Image size 240x240 | Slice 76/155 | Axial view | Brain
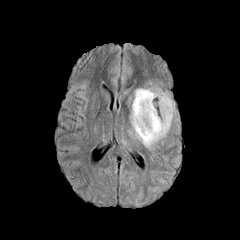
FLAIR MRI.
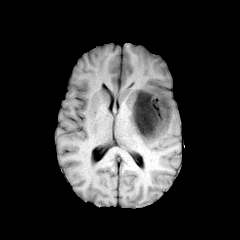
T1-weighted MR image.
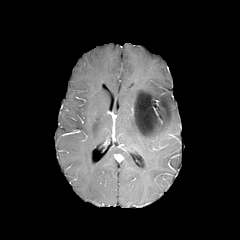
Post-contrast T1-weighted MR image of the same slice.
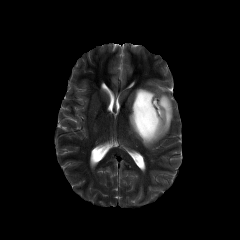
T2-weighted MR.
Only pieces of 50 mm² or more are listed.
enhancing_tumor:
  - {"x1": 137, "y1": 117, "x2": 160, "y2": 136}
  - {"x1": 134, "y1": 92, "x2": 148, "y2": 125}
peritumoral_edema:
  - {"x1": 129, "y1": 88, "x2": 174, "y2": 148}
necrotic_tumor_core:
  - {"x1": 162, "y1": 101, "x2": 168, "y2": 116}
  - {"x1": 136, "y1": 93, "x2": 158, "y2": 134}